Head
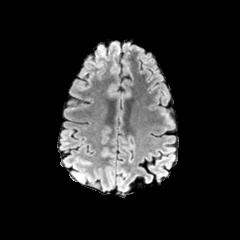
FLAIR MR.
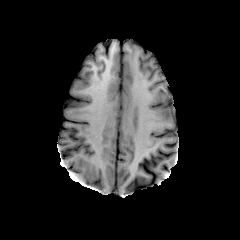
Same slice, T1-weighted MR image.
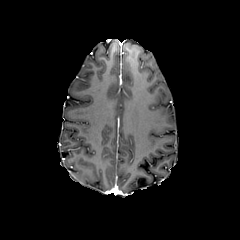
Post-contrast T1-weighted MR image of the same slice.
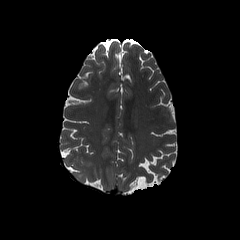
Same slice, T2-weighted magnetic resonance.
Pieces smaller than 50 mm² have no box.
{
  "peritumoral_edema": [
    "box(74, 172, 89, 182)"
  ]
}